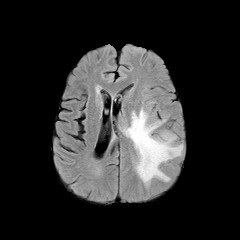
FLAIR MR.
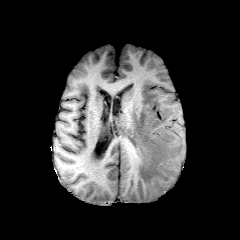
T1-weighted MR image.
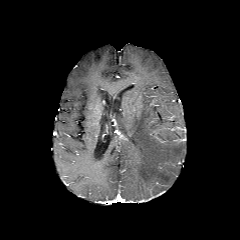
Post-contrast T1-weighted MR image.
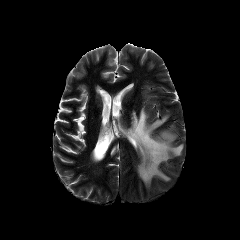
Same slice, T2-weighted magnetic resonance.
Axial view.
• peritumoral edema: x1=122 y1=108 x2=183 y2=186